Image size 240x240; Axial view
FLAIR magnetic resonance.
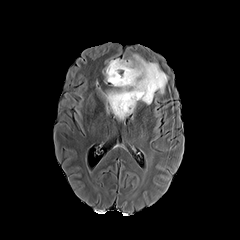
T1-weighted MR.
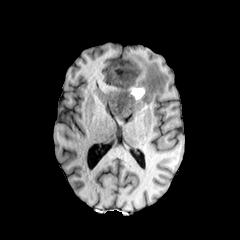
Post-contrast T1-weighted MR image.
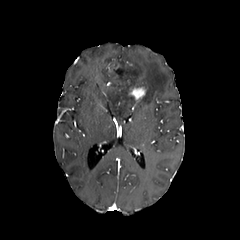
T2-weighted MR image.
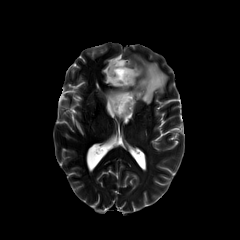
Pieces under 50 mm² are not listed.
The 2 largest enhancing tumor regions appear at (x1=128, y1=87, x2=146, y2=101), (x1=108, y1=60, x2=120, y2=73). The necrotic tumor core lies within (x1=110, y1=60, x2=134, y2=100). The 3 largest peritumoral edema regions are bounded by (x1=102, y1=57, x2=114, y2=82), (x1=127, y1=54, x2=169, y2=104), (x1=105, y1=88, x2=136, y2=120).